FLAIR MR image.
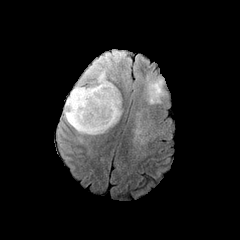
T1-weighted MR.
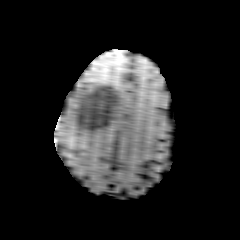
Post-contrast T1-weighted MR image.
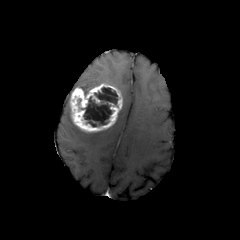
T2-weighted magnetic resonance.
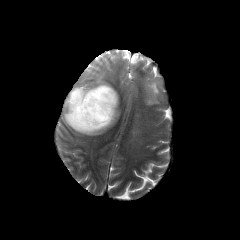
Brain. 240x240.
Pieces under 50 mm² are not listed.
Segmented structures:
- enhancing tumor: [69, 82, 122, 132]
- necrotic tumor core: [84, 97, 111, 124], [95, 88, 117, 104]
- peritumoral edema: [76, 63, 106, 93], [63, 109, 107, 135]